FLAIR MRI.
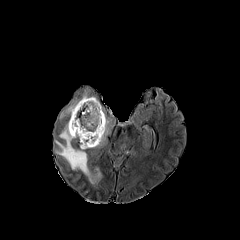
T1-weighted MR image.
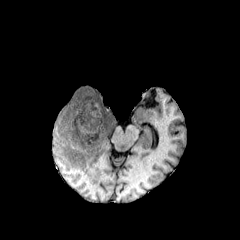
Post-contrast T1-weighted magnetic resonance.
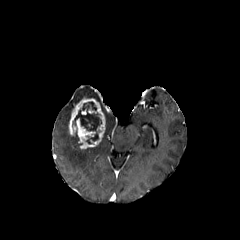
T2-weighted MRI.
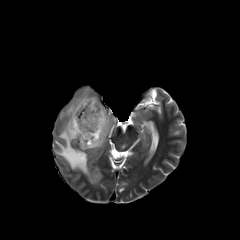
Axial plane
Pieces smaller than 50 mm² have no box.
peritumoral edema: bounding box <bbox>59, 87, 98, 119</bbox>, <bbox>94, 116, 113, 147</bbox>, <bbox>55, 121, 101, 184</bbox>
enhancing tumor: bounding box <bbox>68, 97, 106, 149</bbox>
necrotic tumor core: bounding box <bbox>73, 102, 101, 143</bbox>